FLAIR magnetic resonance.
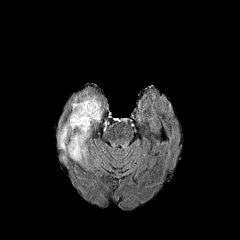
T1-weighted MR image.
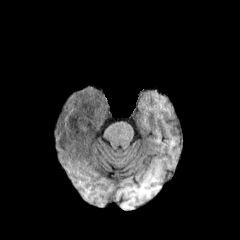
Post-contrast T1-weighted MR image.
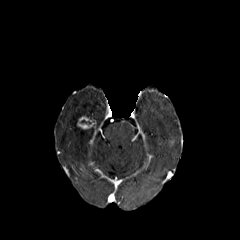
T2-weighted MR.
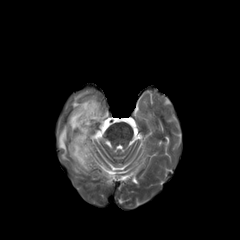
Head, Image size 240x240
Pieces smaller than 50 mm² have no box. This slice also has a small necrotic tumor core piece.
peritumoral edema: [57,96,103,164] | enhancing tumor: [77,116,93,129]